FLAIR MR.
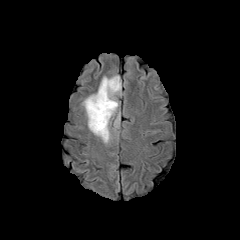
T1-weighted magnetic resonance.
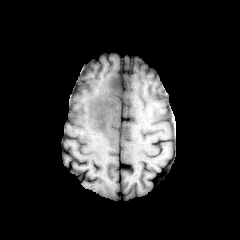
Post-contrast T1-weighted MR.
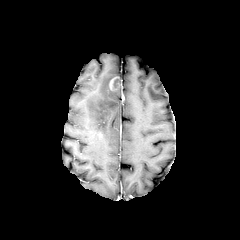
T2-weighted MR.
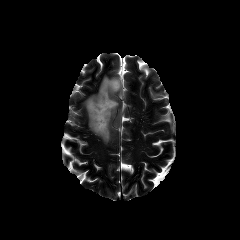
Axial plane
The peritumoral edema is at 83, 75, 121, 143. The enhancing tumor is bounded by 109, 77, 121, 90.